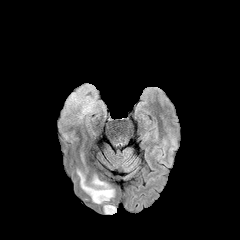
FLAIR MR image.
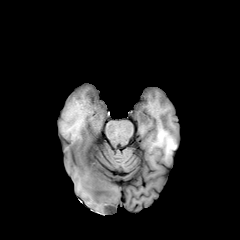
T1-weighted MR of the same slice.
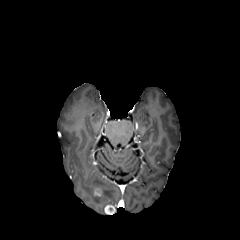
Post-contrast T1-weighted MR image.
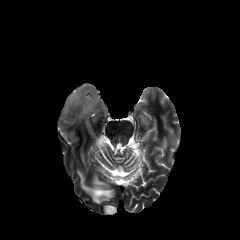
T2-weighted magnetic resonance.
Head.
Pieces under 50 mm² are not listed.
peritumoral edema at (61,83,101,125), (77,170,114,203)
enhancing tumor at (93,187,102,196), (104,205,115,214)